FLAIR MR image.
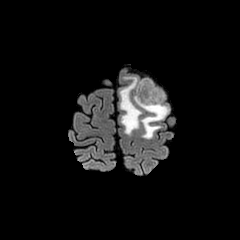
T1-weighted MRI.
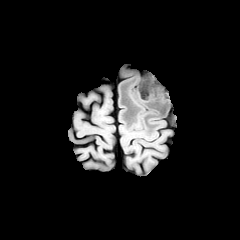
Post-contrast T1-weighted MR.
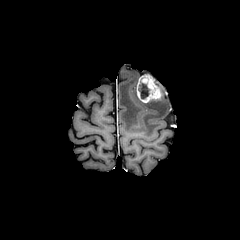
T2-weighted MR image.
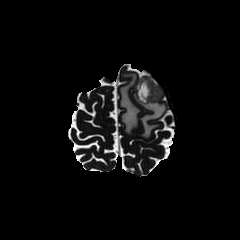
Axial slice | 240x240 px
necrotic tumor core: {"x1": 138, "y1": 82, "x2": 148, "y2": 98}
enhancing tumor: {"x1": 136, "y1": 74, "x2": 162, "y2": 102}
peritumoral edema: {"x1": 119, "y1": 75, "x2": 168, "y2": 138}